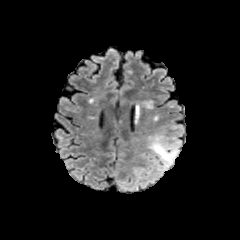
FLAIR MR.
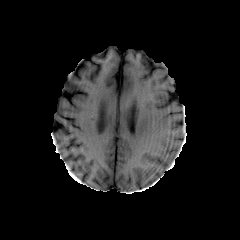
T1-weighted magnetic resonance of the same slice.
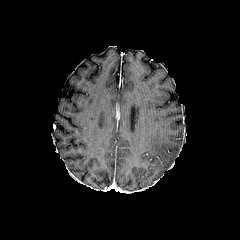
Same slice, post-contrast T1-weighted MRI.
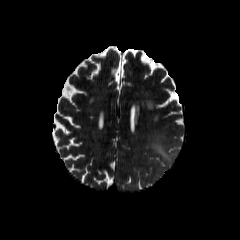
Same slice, T2-weighted MR.
240x240 px
peritumoral_edema:
  - (149, 135, 179, 170)